Slice 78/155
FLAIR MR image.
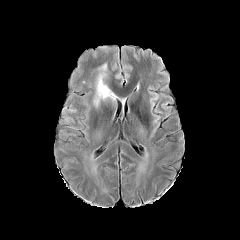
T1-weighted MR.
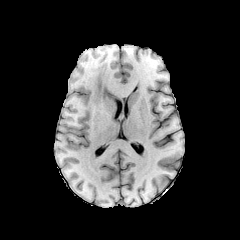
Post-contrast T1-weighted MR image.
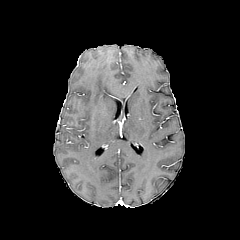
T2-weighted MR image.
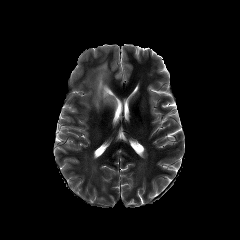
<segmentation>
  <peritumoral_edema><bbox>93, 64, 116, 107</bbox></peritumoral_edema>
</segmentation>